Image size 240x240. Brain. Axial plane.
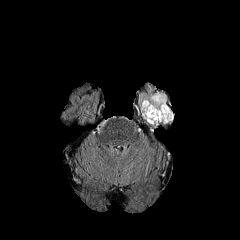
FLAIR magnetic resonance.
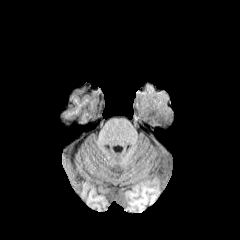
T1-weighted MR.
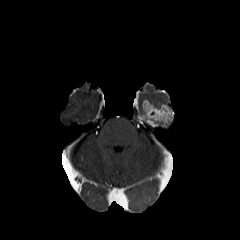
Post-contrast T1-weighted MRI.
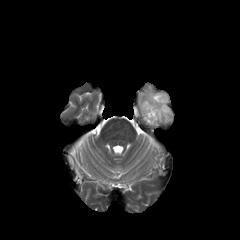
T2-weighted magnetic resonance of the same slice.
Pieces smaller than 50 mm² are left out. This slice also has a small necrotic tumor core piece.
Segmented structures:
- peritumoral edema: x1=139, y1=93, x2=166, y2=113
- enhancing tumor: x1=139, y1=100, x2=173, y2=126